FLAIR MRI.
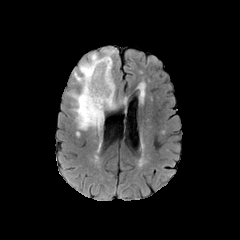
T1-weighted magnetic resonance.
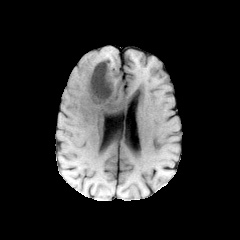
Post-contrast T1-weighted MRI.
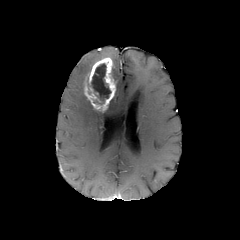
T2-weighted MRI.
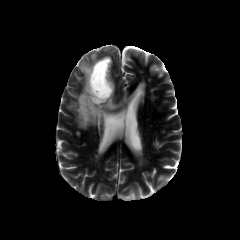
Head, Axial plane
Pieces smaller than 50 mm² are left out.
* enhancing tumor: bbox=[84, 57, 115, 112]
* peritumoral edema: bbox=[107, 96, 126, 109]; bbox=[68, 48, 115, 134]
* necrotic tumor core: bbox=[91, 64, 110, 101]